Slice index 84, 240x240 px, Image width 240 mm
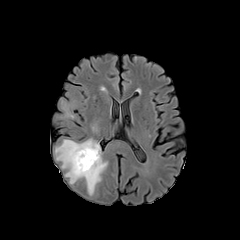
FLAIR MRI.
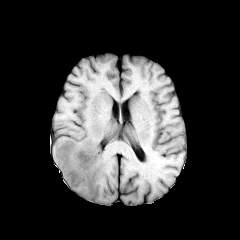
T1-weighted MRI.
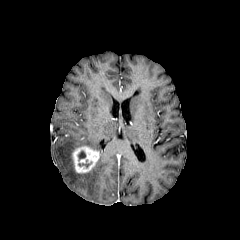
Post-contrast T1-weighted magnetic resonance of the same slice.
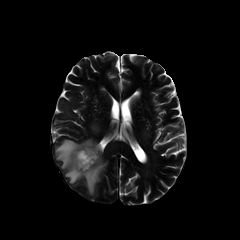
T2-weighted MR.
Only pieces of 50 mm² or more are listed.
The largest necrotic tumor core region is bounded by region(78, 151, 85, 159). The largest peritumoral edema region is bounded by region(55, 138, 107, 195). The enhancing tumor is at region(72, 146, 99, 173).